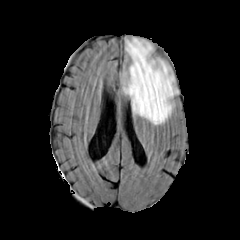
FLAIR MR.
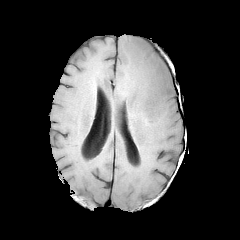
T1-weighted MR of the same slice.
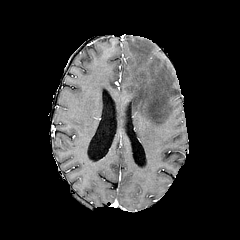
Same slice, post-contrast T1-weighted magnetic resonance.
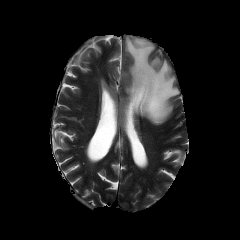
T2-weighted MR image.
Image size 240x240; Brain
The peritumoral edema appears at <box>122,37,176,125</box>.